FLAIR MRI.
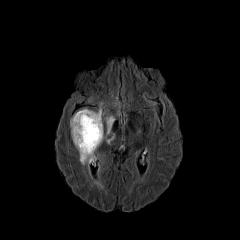
T1-weighted magnetic resonance.
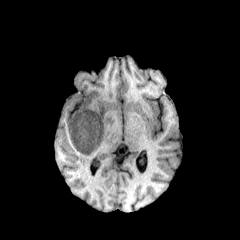
Post-contrast T1-weighted magnetic resonance.
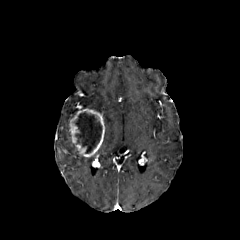
T2-weighted MR image.
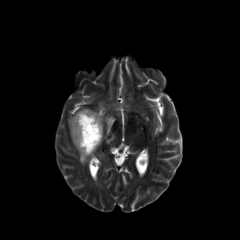
Axial plane; Brain
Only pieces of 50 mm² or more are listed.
The necrotic tumor core is at [75, 112, 101, 153]. The 2 largest peritumoral edema regions appear at [79, 154, 94, 165], [104, 116, 114, 134]. The enhancing tumor is bounded by [69, 108, 105, 157].